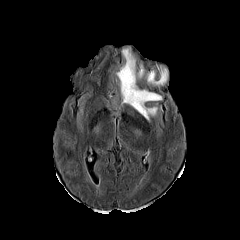
FLAIR MR image.
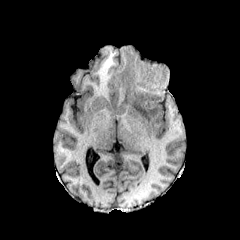
T1-weighted MR image of the same slice.
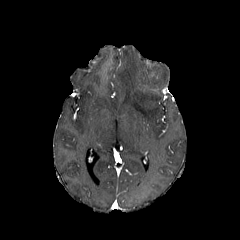
Post-contrast T1-weighted magnetic resonance of the same slice.
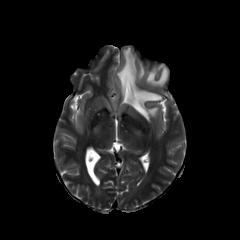
T2-weighted MRI of the same slice.
Axial view.
Annotated regions:
* peritumoral edema: x1=146, y1=66, x2=168, y2=86; x1=116, y1=47, x2=161, y2=121